FLAIR MR image.
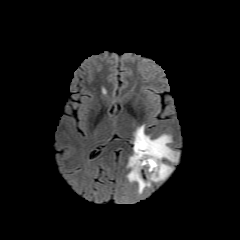
T1-weighted MRI.
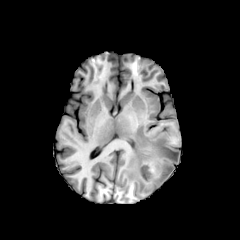
Post-contrast T1-weighted MR image.
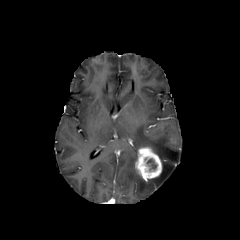
T2-weighted MR image.
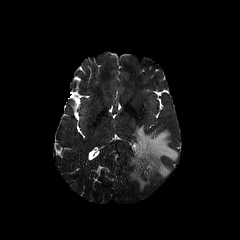
Head; Axial view
enhancing tumor at left=135, top=146, right=162, bottom=183
necrotic tumor core at left=147, top=159, right=156, bottom=170
peritumoral edema at left=127, top=125, right=178, bottom=193; left=148, top=162, right=172, bottom=182